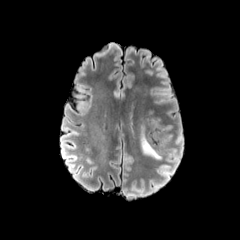
FLAIR MR image.
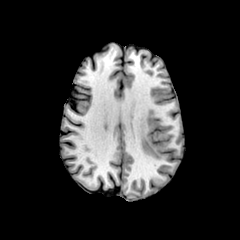
T1-weighted magnetic resonance of the same slice.
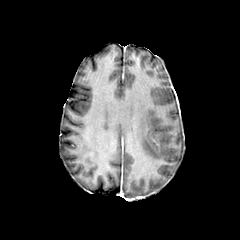
Post-contrast T1-weighted magnetic resonance.
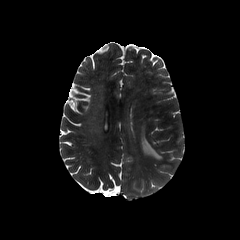
T2-weighted magnetic resonance.
Axial plane
peritumoral edema: rect(140, 125, 161, 159)